FLAIR MRI.
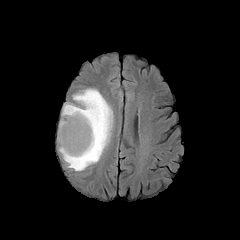
T1-weighted MR.
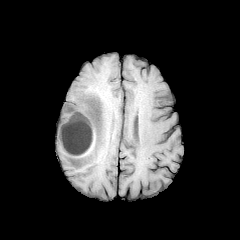
Post-contrast T1-weighted MR image.
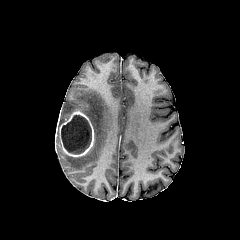
T2-weighted MRI.
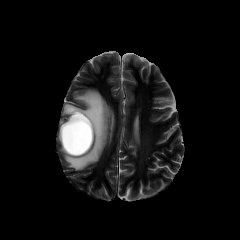
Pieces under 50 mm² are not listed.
<segmentation>
  <enhancing_tumor>x1=59 y1=110 x2=94 y2=157</enhancing_tumor>
  <peritumoral_edema>x1=58 y1=89 x2=112 y2=170</peritumoral_edema>
  <necrotic_tumor_core>x1=61 y1=115 x2=91 y2=153</necrotic_tumor_core>
</segmentation>